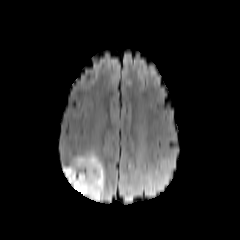
FLAIR MRI.
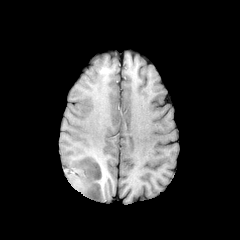
T1-weighted MR of the same slice.
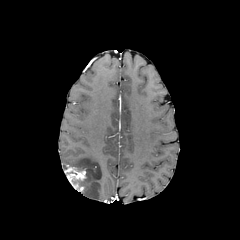
Same slice, post-contrast T1-weighted magnetic resonance.
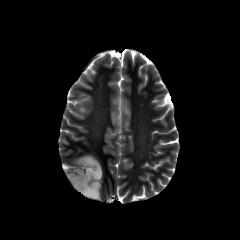
T2-weighted MRI.
Axial slice
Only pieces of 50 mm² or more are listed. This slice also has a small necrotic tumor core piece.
peritumoral edema: left=71, top=153, right=103, bottom=200
enhancing tumor: left=64, top=166, right=86, bottom=192